FLAIR MR image.
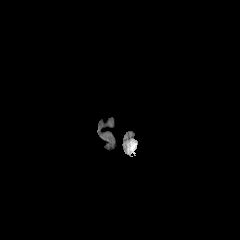
T1-weighted MRI.
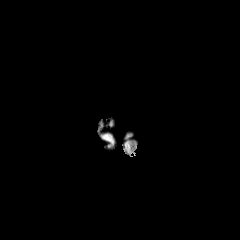
Post-contrast T1-weighted MR.
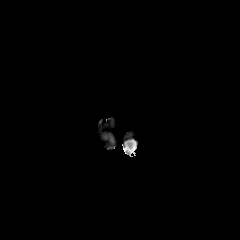
T2-weighted MR image.
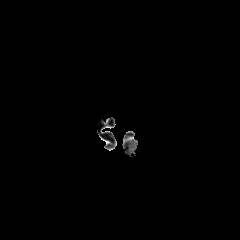
Axial plane, Brain
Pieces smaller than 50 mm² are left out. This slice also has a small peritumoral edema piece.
enhancing tumor at (x1=126, y1=141, x2=136, y2=155)